240x240, Image covers 240 mm x 240 mm, Axial view
FLAIR magnetic resonance.
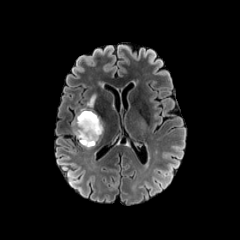
T1-weighted MRI.
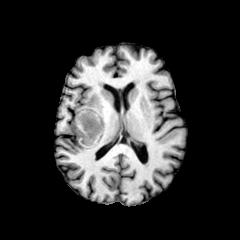
Post-contrast T1-weighted MR image.
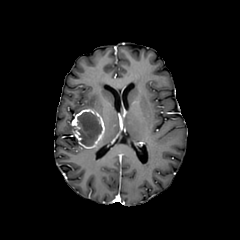
T2-weighted MR image.
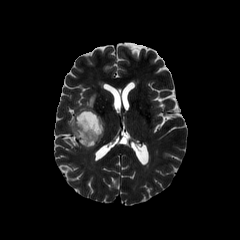
The peritumoral edema is at 80,94,96,110. The enhancing tumor is at 72,109,104,148. The necrotic tumor core is at 77,112,102,146.